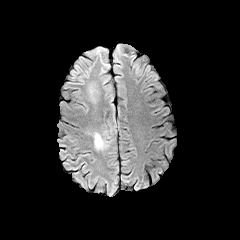
FLAIR MR image.
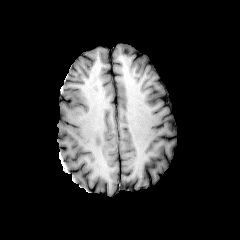
T1-weighted magnetic resonance of the same slice.
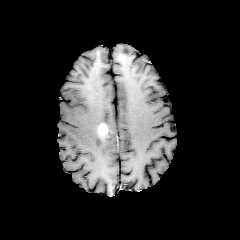
Post-contrast T1-weighted MR image of the same slice.
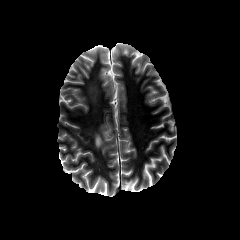
T2-weighted MR of the same slice.
Axial view
The enhancing tumor lies within 99, 124, 108, 137. The peritumoral edema appears at 93, 122, 113, 150.